FLAIR magnetic resonance.
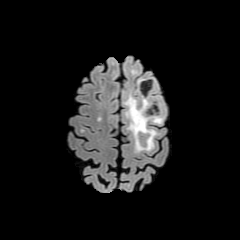
T1-weighted MRI.
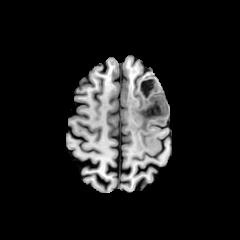
Post-contrast T1-weighted MR image.
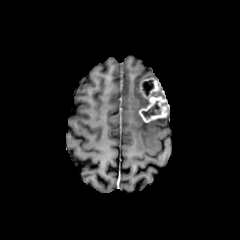
T2-weighted MRI.
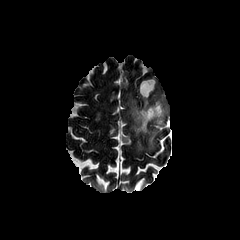
240x240; Head
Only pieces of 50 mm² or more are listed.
* enhancing tumor: rect(139, 78, 168, 122)
* peritumoral edema: rect(124, 88, 157, 151); rect(149, 118, 164, 124)
* necrotic tumor core: rect(143, 80, 153, 94); rect(142, 104, 160, 119)